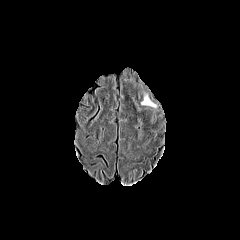
FLAIR MR image.
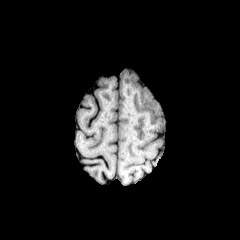
T1-weighted MR.
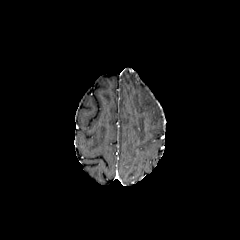
Post-contrast T1-weighted magnetic resonance.
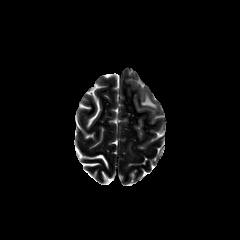
T2-weighted MRI of the same slice.
240x240 px, Head
The peritumoral edema is bounded by (left=141, top=96, right=156, bottom=107).